FLAIR MR.
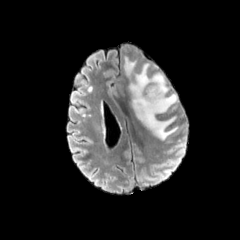
T1-weighted magnetic resonance.
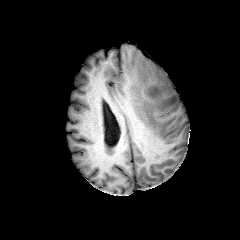
Post-contrast T1-weighted MR.
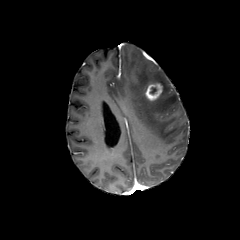
T2-weighted MR image.
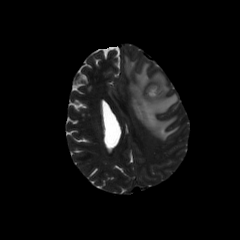
Brain
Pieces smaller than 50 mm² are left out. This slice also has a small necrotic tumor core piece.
peritumoral_edema:
  - bbox=[124, 56, 178, 140]
enhancing_tumor:
  - bbox=[145, 82, 163, 100]